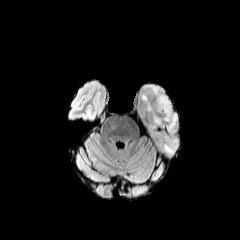
FLAIR MRI.
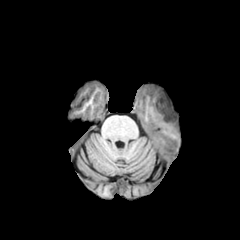
T1-weighted MR.
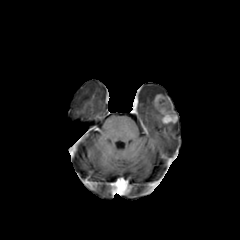
Post-contrast T1-weighted MR image.
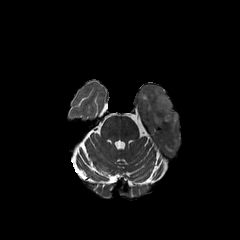
T2-weighted magnetic resonance.
Head.
peritumoral_edema:
  - bbox(153, 112, 163, 124)
  - bbox(149, 86, 164, 95)
  - bbox(142, 95, 153, 111)
  - bbox(163, 121, 178, 152)
enhancing_tumor:
  - bbox(153, 94, 177, 124)